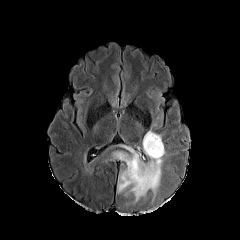
FLAIR magnetic resonance.
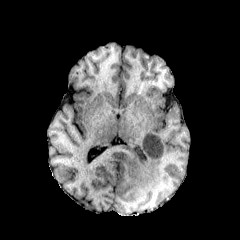
Same slice, T1-weighted MR.
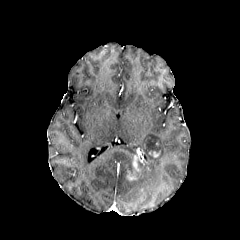
Post-contrast T1-weighted MRI.
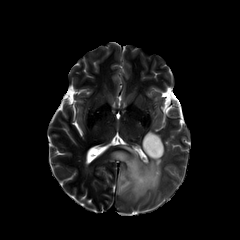
Same slice, T2-weighted MR.
240x240
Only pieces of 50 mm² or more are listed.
necrotic tumor core: bounding box <bbox>146, 137, 161, 153</bbox>, <bbox>136, 159, 141, 179</bbox>
peritumoral edema: bounding box <bbox>112, 130, 165, 201</bbox>
enhancing tumor: bounding box <bbox>149, 151, 160, 157</bbox>, <bbox>127, 155, 139, 180</bbox>